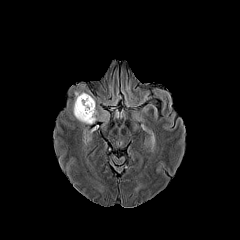
FLAIR magnetic resonance.
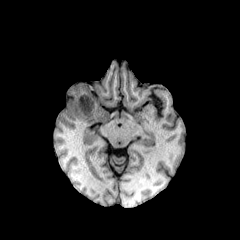
T1-weighted MR image.
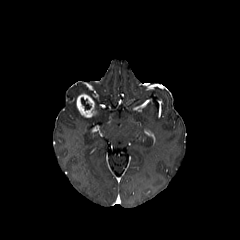
Post-contrast T1-weighted MR image.
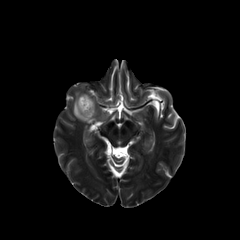
Same slice, T2-weighted MRI.
Brain
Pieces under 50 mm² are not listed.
{"necrotic_tumor_core": ["81,97,91,110"], "peritumoral_edema": ["72,92,108,124"], "enhancing_tumor": ["76,94,96,117"]}